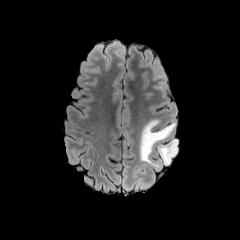
FLAIR MRI.
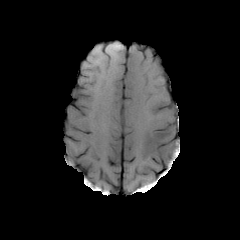
Same slice, T1-weighted magnetic resonance.
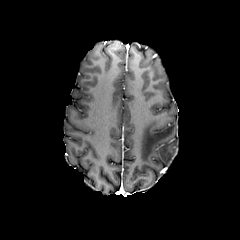
Same slice, post-contrast T1-weighted MRI.
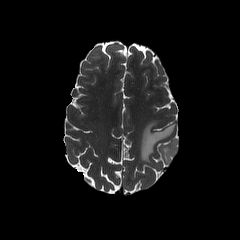
T2-weighted MRI of the same slice.
<segmentation>
  <peritumoral_edema>139,119,174,168; 158,138,177,164</peritumoral_edema>
</segmentation>